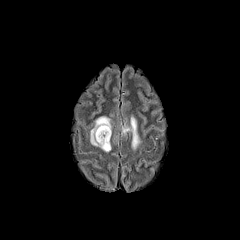
FLAIR magnetic resonance.
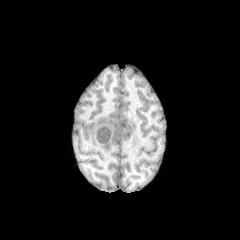
T1-weighted MRI.
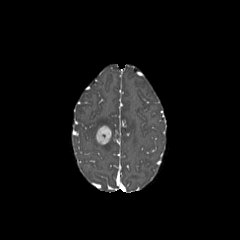
Same slice, post-contrast T1-weighted MR image.
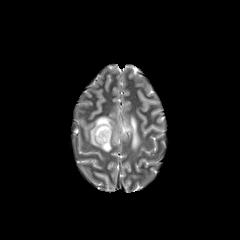
T2-weighted MR image of the same slice.
Brain
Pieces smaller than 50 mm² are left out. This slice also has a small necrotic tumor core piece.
* enhancing tumor: (96,125,111,144)
* peritumoral edema: (122,116,139,149), (90,116,112,151)